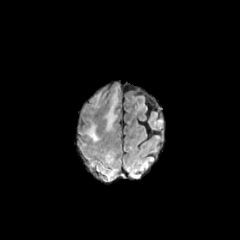
FLAIR MR image.
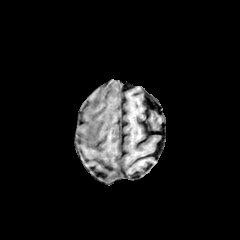
Same slice, T1-weighted magnetic resonance.
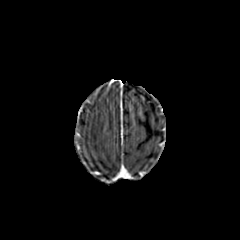
Post-contrast T1-weighted magnetic resonance.
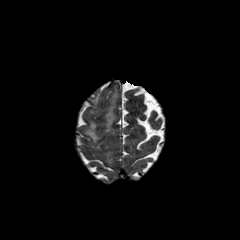
Same slice, T2-weighted magnetic resonance.
Axial plane
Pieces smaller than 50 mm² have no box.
{
  "peritumoral_edema": [
    {"x1": 105, "y1": 92, "x2": 116, "y2": 131},
    {"x1": 86, "y1": 123, "x2": 99, "y2": 141}
  ]
}